FLAIR MRI.
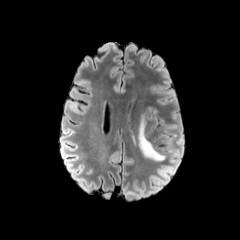
T1-weighted MR image.
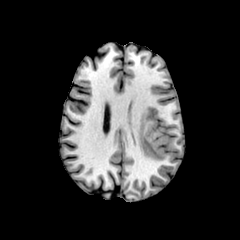
Post-contrast T1-weighted MR image.
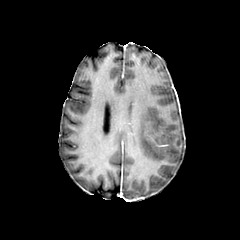
T2-weighted MR image.
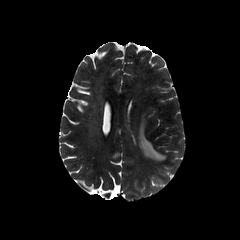
Axial view | Brain
The peritumoral edema lies within [138, 115, 165, 160].